FLAIR MR image.
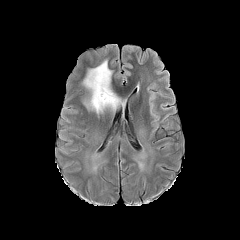
T1-weighted MR image.
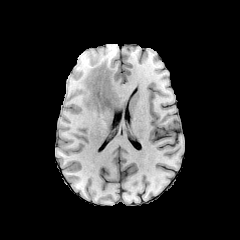
Post-contrast T1-weighted MR.
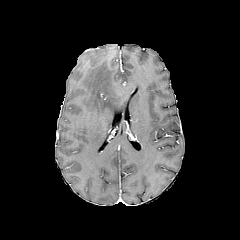
T2-weighted MRI.
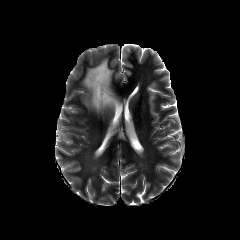
Head. Axial view.
peritumoral edema: <bbox>78, 60, 124, 114</bbox>